Brain | 240x240 px
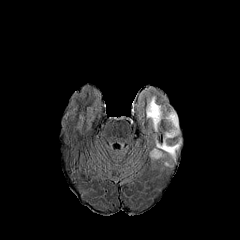
FLAIR MRI.
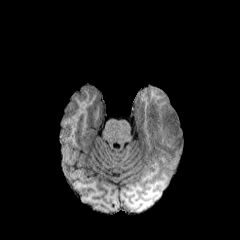
Same slice, T1-weighted MRI.
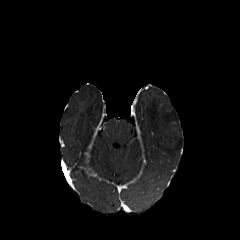
Post-contrast T1-weighted MRI.
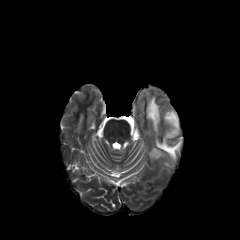
T2-weighted MRI of the same slice.
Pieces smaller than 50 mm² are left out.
- peritumoral edema: [146,96,162,131], [156,111,181,160], [151,149,161,158]